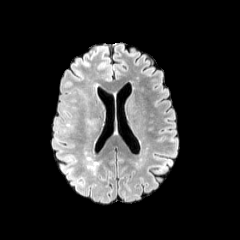
FLAIR MR image.
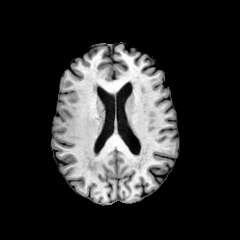
Same slice, T1-weighted MR.
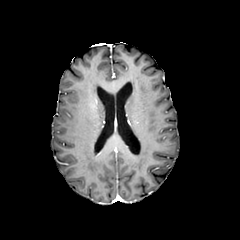
Same slice, post-contrast T1-weighted MR image.
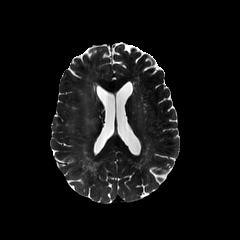
Same slice, T2-weighted MRI.
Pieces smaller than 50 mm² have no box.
The 2 largest peritumoral edema regions appear at x1=78, y1=89, x2=88, y2=99; x1=86, y1=116, x2=99, y2=124.